Head. Axial plane.
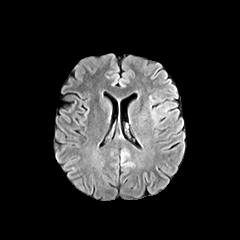
FLAIR MR image.
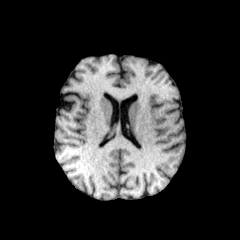
Same slice, T1-weighted magnetic resonance.
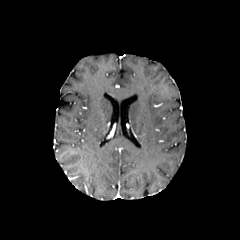
Same slice, post-contrast T1-weighted MR.
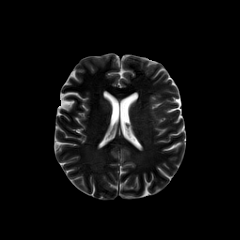
T2-weighted magnetic resonance.
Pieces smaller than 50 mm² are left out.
Annotated regions:
• peritumoral edema: [121, 151, 128, 161]